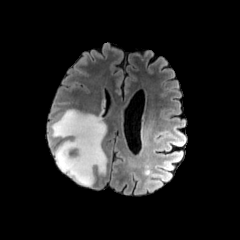
FLAIR MRI.
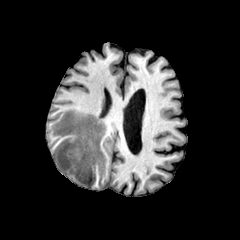
T1-weighted MR.
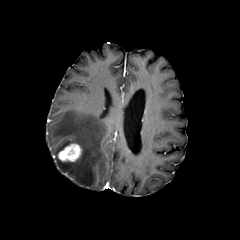
Post-contrast T1-weighted magnetic resonance of the same slice.
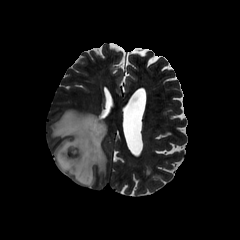
T2-weighted magnetic resonance.
Brain.
<segmentation>
  <enhancing_tumor><box>58,143,81,162</box></enhancing_tumor>
  <peritumoral_edema><box>51,109,106,186</box></peritumoral_edema>
</segmentation>